Axial plane. Image covers 240 mm x 240 mm. Slice 86/155.
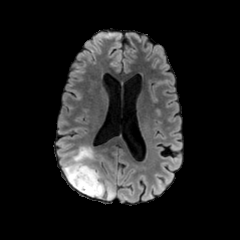
FLAIR MR image.
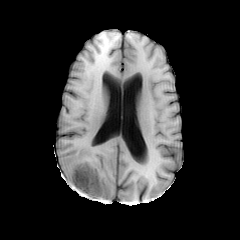
T1-weighted magnetic resonance.
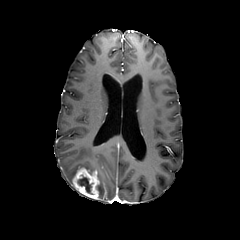
Post-contrast T1-weighted MRI of the same slice.
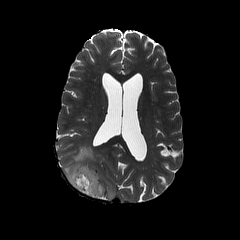
T2-weighted magnetic resonance of the same slice.
necrotic tumor core: bounding box left=77, top=177, right=93, bottom=194
peritumoral edema: bounding box left=63, top=146, right=114, bottom=200
enhancing tumor: bounding box left=72, top=167, right=99, bottom=198